Image covers 240 mm x 240 mm; Axial plane; Head
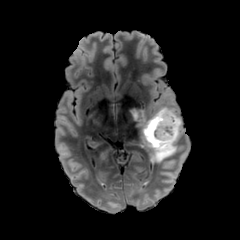
FLAIR MR.
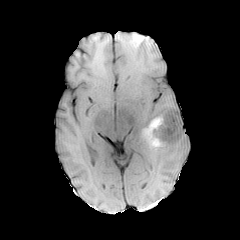
T1-weighted MRI.
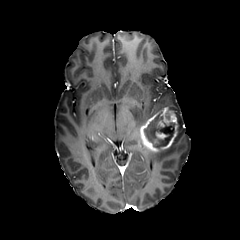
Post-contrast T1-weighted MRI.
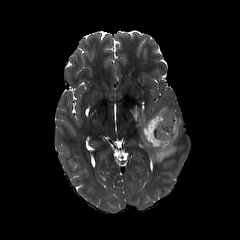
T2-weighted MR.
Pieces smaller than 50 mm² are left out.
peritumoral edema: x1=145, y1=113, x2=183, y2=162; x1=130, y1=103, x2=176, y2=127 | necrotic tumor core: x1=144, y1=115, x2=175, y2=148 | enhancing tumor: x1=138, y1=108, x2=178, y2=152; x1=156, y1=132, x2=168, y2=139